Brain
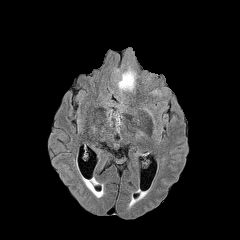
FLAIR MRI.
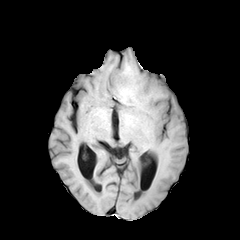
T1-weighted MR image.
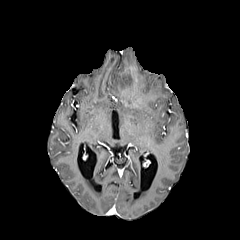
Post-contrast T1-weighted magnetic resonance.
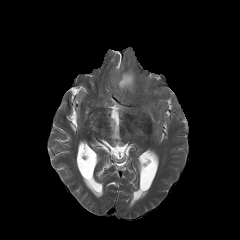
Same slice, T2-weighted MRI.
{
  "peritumoral_edema": [
    "[118, 71, 135, 90]"
  ]
}